Image width 240 mm. Head.
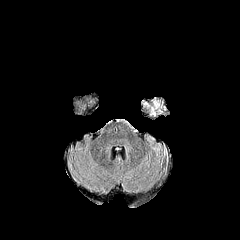
FLAIR magnetic resonance.
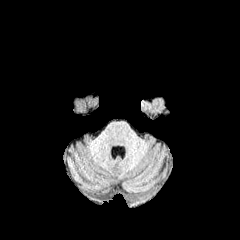
T1-weighted magnetic resonance.
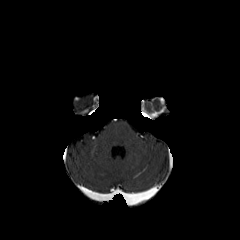
Post-contrast T1-weighted MRI.
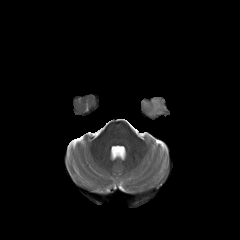
T2-weighted magnetic resonance.
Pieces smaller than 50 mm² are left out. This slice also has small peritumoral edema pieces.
The enhancing tumor appears at bbox=[149, 108, 164, 117].